Head
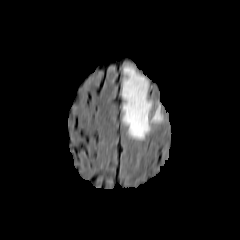
FLAIR MR.
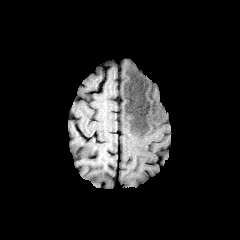
Same slice, T1-weighted magnetic resonance.
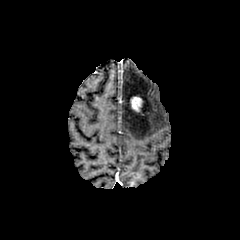
Same slice, post-contrast T1-weighted MR.
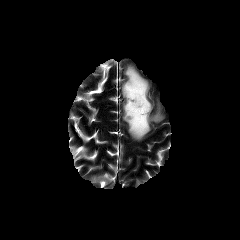
T2-weighted magnetic resonance.
enhancing tumor = [130,96,143,112]
peritumoral edema = [122,65,163,140]